FLAIR MRI.
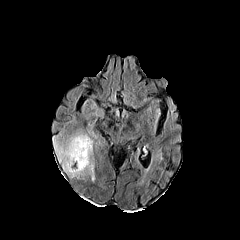
T1-weighted MR.
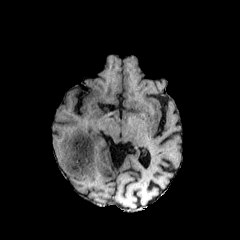
Post-contrast T1-weighted MRI.
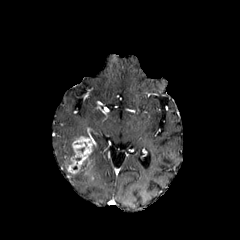
T2-weighted MR.
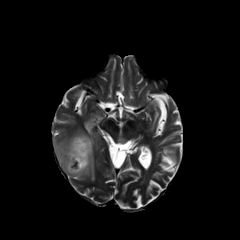
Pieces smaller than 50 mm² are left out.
{"necrotic_tumor_core": ["bbox(75, 142, 87, 154)"], "enhancing_tumor": ["bbox(68, 136, 91, 175)"], "peritumoral_edema": ["bbox(54, 132, 95, 181)"]}